Slice index 108; Axial slice; Brain
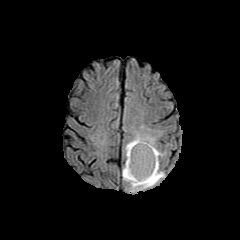
FLAIR MR.
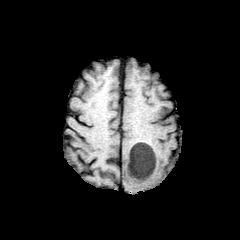
T1-weighted MR.
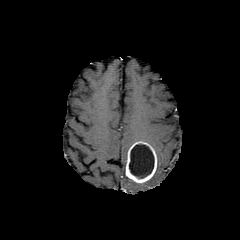
Post-contrast T1-weighted magnetic resonance.
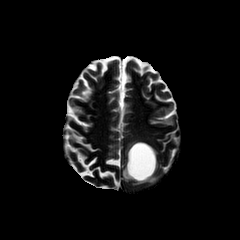
Same slice, T2-weighted MR image.
The enhancing tumor is at 125:141:157:183. The necrotic tumor core is bounded by 129:144:154:178. The peritumoral edema appears at 122:132:164:191.